FLAIR magnetic resonance.
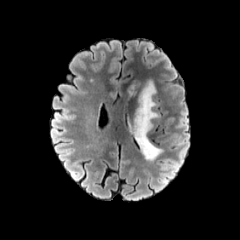
T1-weighted MR image.
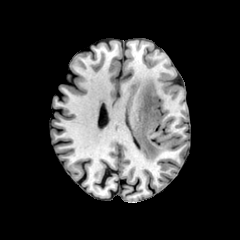
Post-contrast T1-weighted magnetic resonance.
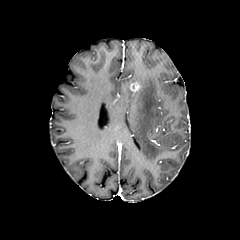
T2-weighted MR.
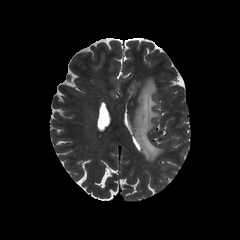
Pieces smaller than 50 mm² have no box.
<segmentation>
  <enhancing_tumor>[130, 81, 140, 92]</enhancing_tumor>
  <peritumoral_edema>[131, 79, 163, 161]</peritumoral_edema>
</segmentation>